FLAIR MR.
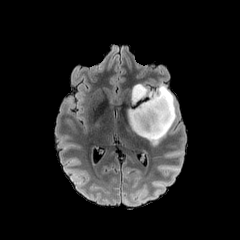
T1-weighted MR image.
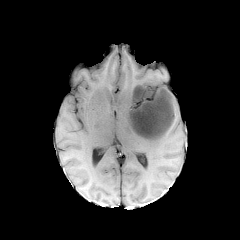
Post-contrast T1-weighted MR.
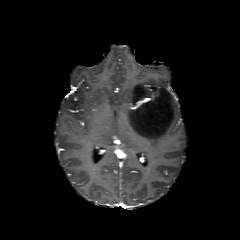
T2-weighted MR.
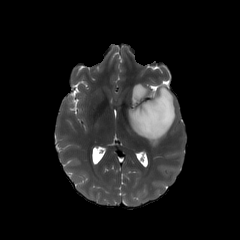
Axial view
peritumoral edema — box=[128, 84, 175, 145]